Axial slice | Image width 240 mm, 1.00 mm slice spacing | 240x240 px | Slice 88/155
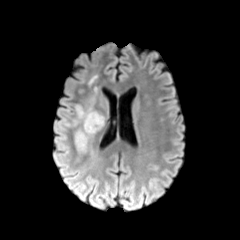
FLAIR MR.
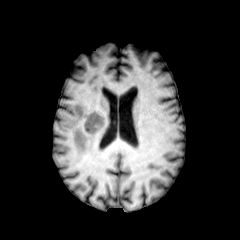
T1-weighted MR of the same slice.
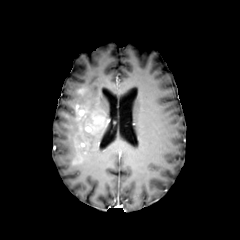
Post-contrast T1-weighted magnetic resonance.
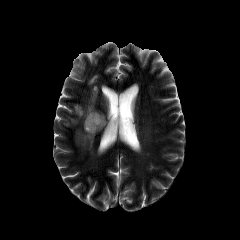
T2-weighted MR.
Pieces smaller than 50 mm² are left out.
enhancing tumor: region(85, 112, 104, 133); region(75, 105, 86, 117) | peritumoral edema: region(79, 108, 95, 130); region(75, 131, 87, 146)